Slice 104 of 155. 240x240 px.
FLAIR magnetic resonance.
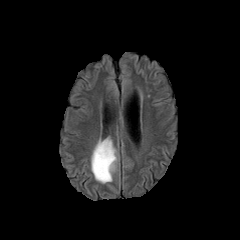
T1-weighted MR image.
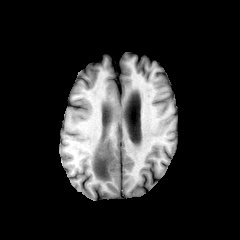
Post-contrast T1-weighted magnetic resonance.
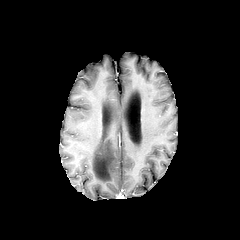
T2-weighted magnetic resonance.
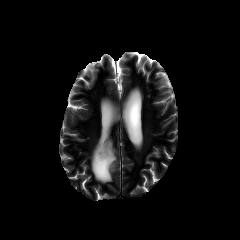
peritumoral edema — bbox(91, 137, 117, 183)